Axial view | Slice 102 of 155 | Brain
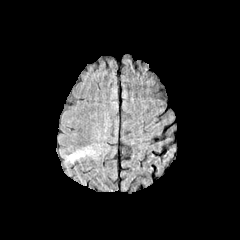
FLAIR magnetic resonance.
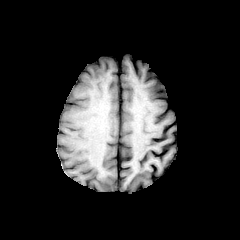
T1-weighted MR image.
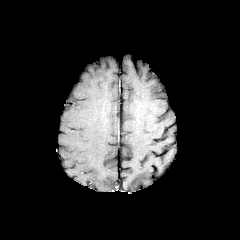
Post-contrast T1-weighted MR image of the same slice.
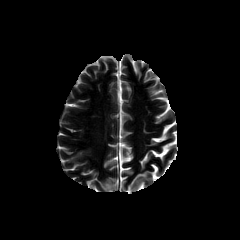
Same slice, T2-weighted MRI.
peritumoral edema: bounding box [68,152,83,161]